Image width 240 mm, 1.00 mm slice spacing. Slice 81 of 155.
FLAIR magnetic resonance.
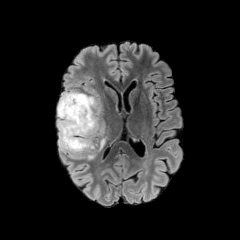
T1-weighted MR image.
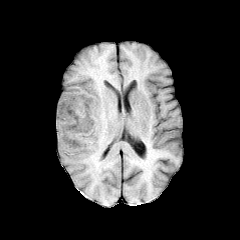
Post-contrast T1-weighted magnetic resonance.
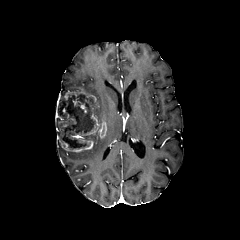
T2-weighted magnetic resonance.
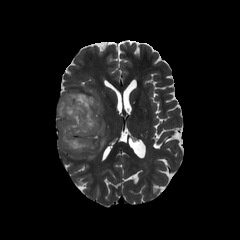
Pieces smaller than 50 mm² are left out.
The 2 largest peritumoral edema regions appear at box(97, 137, 105, 151); box(68, 152, 82, 157). The largest enhancing tumor region is at box(57, 91, 106, 152). The largest necrotic tumor core region is located at box(58, 94, 95, 148).